Slice index 106 | 240x240 px
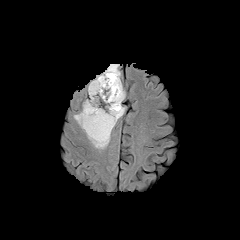
FLAIR MRI.
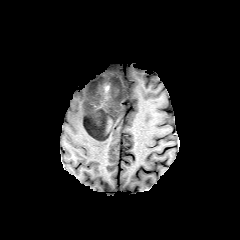
T1-weighted MR.
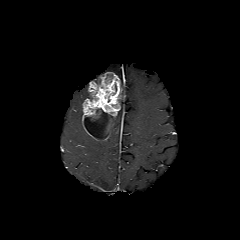
Post-contrast T1-weighted MR image.
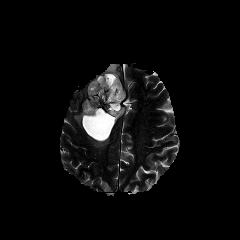
T2-weighted MR image.
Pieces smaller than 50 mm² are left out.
enhancing tumor: (left=82, top=72, right=125, bottom=140)
necrotic tumor core: (left=84, top=109, right=114, bottom=139)
peritumoral edema: (left=86, top=133, right=110, bottom=149), (left=74, top=111, right=83, bottom=129), (left=104, top=64, right=120, bottom=77), (left=111, top=105, right=124, bottom=133)